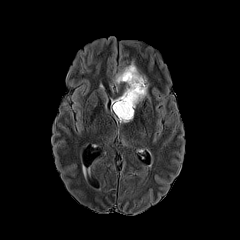
FLAIR MR image.
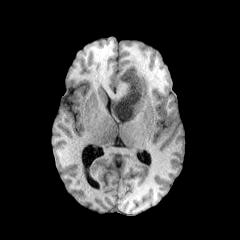
Same slice, T1-weighted MRI.
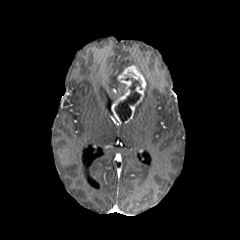
Post-contrast T1-weighted MRI of the same slice.
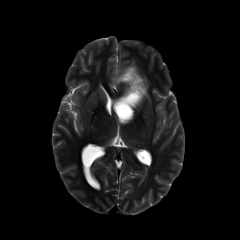
T2-weighted MR image.
Image size 240x240
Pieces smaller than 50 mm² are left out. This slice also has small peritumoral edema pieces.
Findings:
- enhancing tumor: 111 65 146 123
- necrotic tumor core: 115 80 140 122